FLAIR MRI.
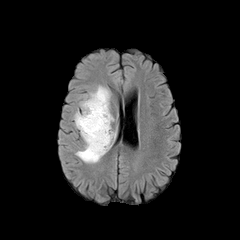
T1-weighted MRI.
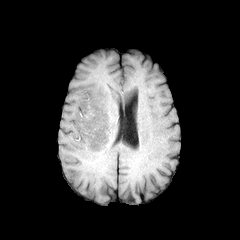
Post-contrast T1-weighted MR image.
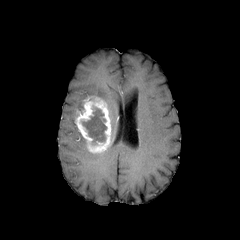
T2-weighted MRI.
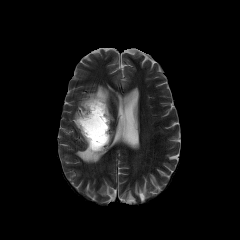
Brain
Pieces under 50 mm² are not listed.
The enhancing tumor appears at [75,96,111,153]. The 2 largest peritumoral edema regions appear at [83,85,113,122], [75,130,116,163]. The necrotic tumor core is bounded by [82,108,106,142].